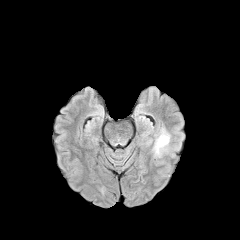
FLAIR magnetic resonance.
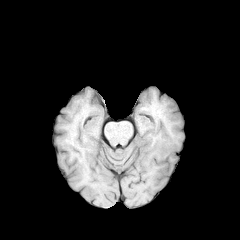
Same slice, T1-weighted MRI.
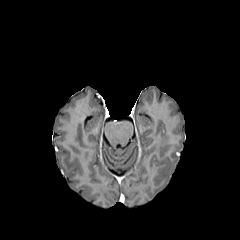
Post-contrast T1-weighted magnetic resonance.
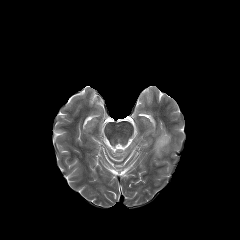
T2-weighted magnetic resonance.
Axial view. Brain.
Segmented structures:
* peritumoral edema: 154 131 169 155